240x240, Axial plane, Brain
FLAIR MRI.
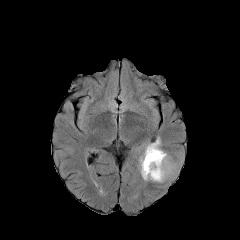
T1-weighted MR image.
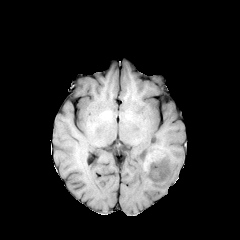
Post-contrast T1-weighted magnetic resonance.
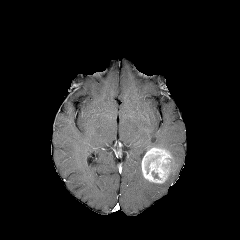
T2-weighted magnetic resonance.
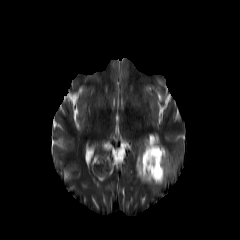
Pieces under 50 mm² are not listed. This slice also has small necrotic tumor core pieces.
peritumoral_edema:
  - (x1=136, y1=136, x2=163, y2=182)
  - (x1=165, y1=156, x2=182, y2=181)
enhancing_tumor:
  - (x1=141, y1=147, x2=173, y2=183)